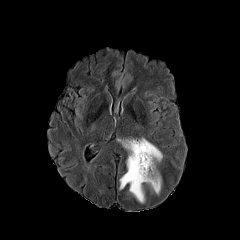
FLAIR MR image.
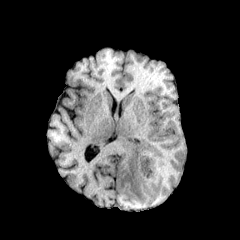
Same slice, T1-weighted magnetic resonance.
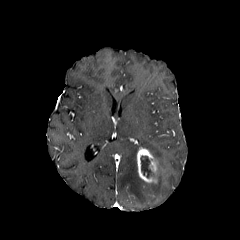
Post-contrast T1-weighted MRI.
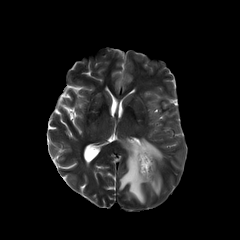
T2-weighted MR image of the same slice.
Axial view
2 peritumoral edema regions are bounded by (x1=118, y1=138, x2=162, y2=203), (x1=148, y1=172, x2=161, y2=194). The enhancing tumor is bounded by (x1=136, y1=147, x2=158, y2=183). The necrotic tumor core is at (x1=141, y1=156, x2=151, y2=177).